Axial plane; Head
FLAIR MR.
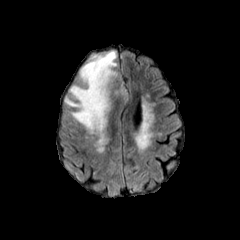
T1-weighted MR image.
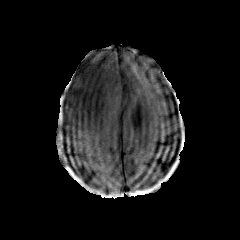
Post-contrast T1-weighted magnetic resonance.
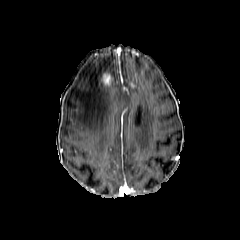
T2-weighted MR.
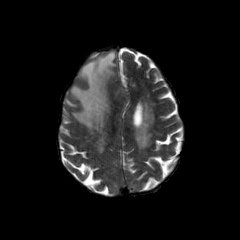
peritumoral edema — x1=64 y1=50 x2=127 y2=132
enhancing tumor — x1=101 y1=72 x2=111 y2=85